Axial plane; Slice 110 of 155; Image width 240 mm, 1.00 mm slice spacing
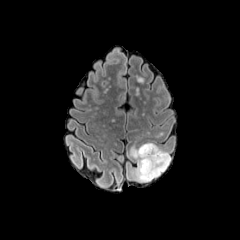
FLAIR MR.
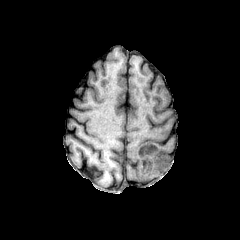
Same slice, T1-weighted MR.
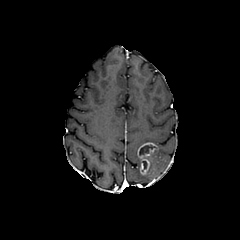
Post-contrast T1-weighted MR image.
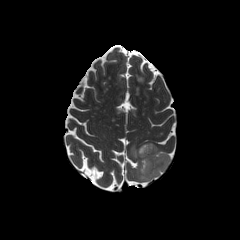
T2-weighted magnetic resonance.
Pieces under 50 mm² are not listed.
The peritumoral edema is at [x1=130, y1=145, x2=170, y2=181]. The largest necrotic tumor core region is bounded by [x1=139, y1=145, x2=155, y2=155]. The enhancing tumor is bounded by [x1=137, y1=142, x2=157, y2=174].